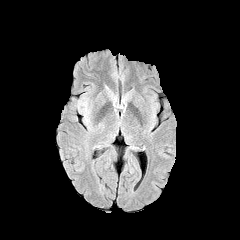
FLAIR MR image.
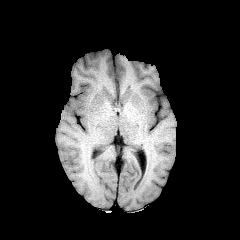
T1-weighted MR image.
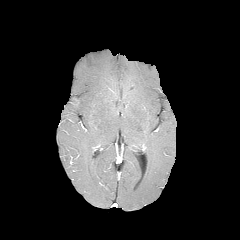
Post-contrast T1-weighted MR.
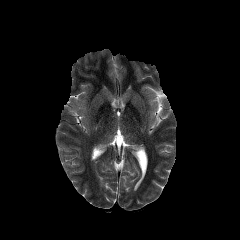
T2-weighted MR.
Brain. Axial view.
Segmented structures:
- peritumoral edema: (x1=75, y1=98, x2=88, y2=122)